FLAIR MRI.
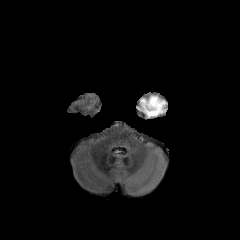
T1-weighted magnetic resonance.
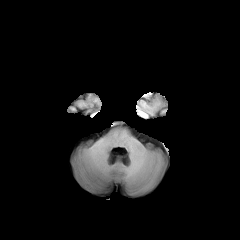
Post-contrast T1-weighted magnetic resonance.
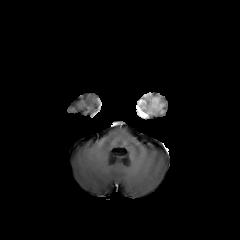
T2-weighted magnetic resonance.
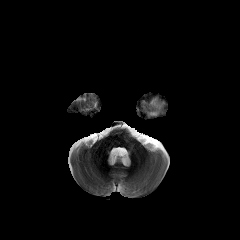
Axial plane; Brain
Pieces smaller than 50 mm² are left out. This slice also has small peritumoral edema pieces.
enhancing tumor — {"x1": 139, "y1": 97, "x2": 164, "y2": 115}